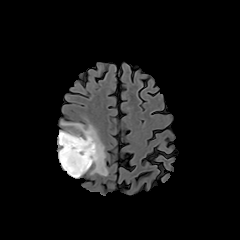
FLAIR MRI.
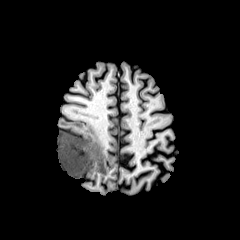
Same slice, T1-weighted MR.
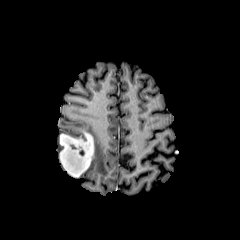
Post-contrast T1-weighted MRI.
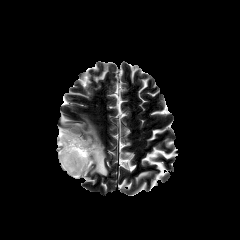
T2-weighted MRI.
Axial plane; Head
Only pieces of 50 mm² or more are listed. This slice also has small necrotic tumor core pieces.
enhancing tumor: <box>59,131,94,177</box> | peritumoral edema: <box>58,120,108,177</box>